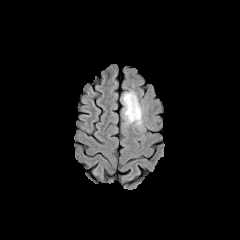
FLAIR MRI.
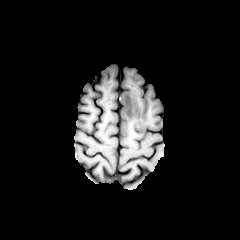
T1-weighted magnetic resonance of the same slice.
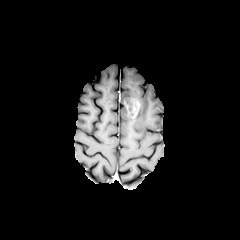
Same slice, post-contrast T1-weighted MR.
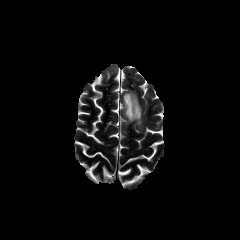
Same slice, T2-weighted MRI.
Image size 240x240. Head.
The necrotic tumor core is at <bbox>125, 99, 136, 115</bbox>. The enhancing tumor is at <bbox>124, 97, 139, 118</bbox>. The peritumoral edema appears at <bbox>122, 90, 143, 128</bbox>.